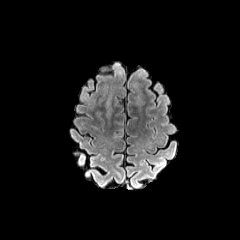
FLAIR MR image.
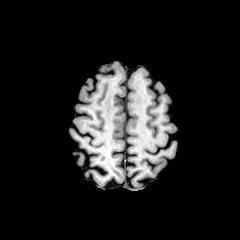
Same slice, T1-weighted MR image.
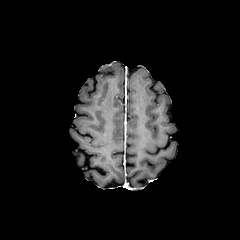
Same slice, post-contrast T1-weighted magnetic resonance.
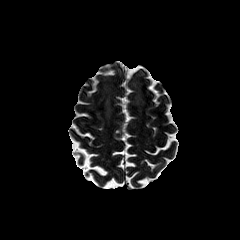
Same slice, T2-weighted magnetic resonance.
240x240. Head. Axial slice.
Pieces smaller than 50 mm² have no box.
<segmentation>
  <peritumoral_edema>[114,63,122,75]</peritumoral_edema>
</segmentation>